Axial slice | Head
FLAIR MR.
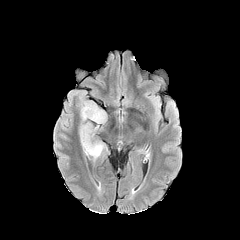
T1-weighted magnetic resonance.
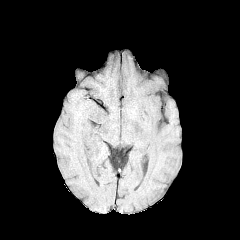
Post-contrast T1-weighted MR.
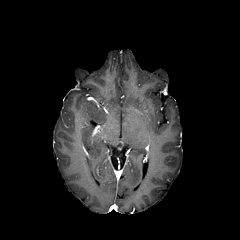
T2-weighted MRI.
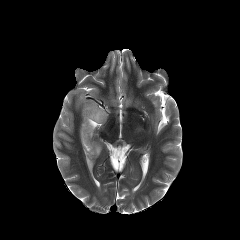
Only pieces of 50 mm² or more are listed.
{"peritumoral_edema": ["<bbox>79, 91, 107, 161</bbox>"]}